Axial view | 240x240
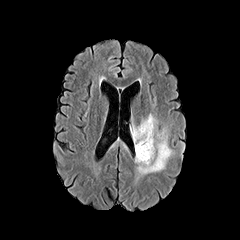
FLAIR magnetic resonance.
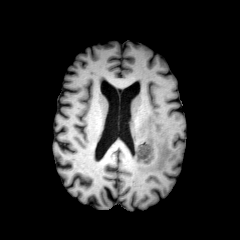
T1-weighted MRI.
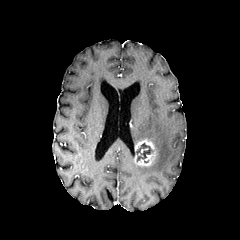
Post-contrast T1-weighted MR.
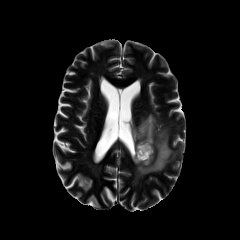
Same slice, T2-weighted MR.
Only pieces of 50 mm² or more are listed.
The largest enhancing tumor region is at [134, 139, 155, 166]. The largest necrotic tumor core region is located at [137, 143, 152, 161]. The peritumoral edema is located at [132, 112, 174, 184].